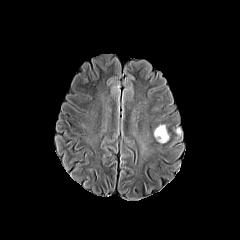
FLAIR magnetic resonance.
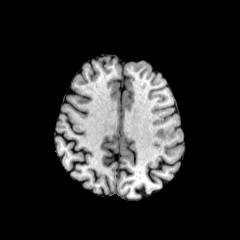
T1-weighted MR image.
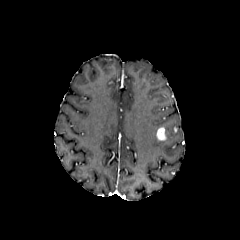
Post-contrast T1-weighted MR image of the same slice.
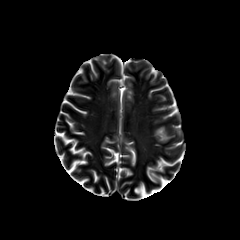
T2-weighted MR image.
Head
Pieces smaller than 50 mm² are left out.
The largest peritumoral edema region lies within (153,124,168,143). The enhancing tumor is bounded by (156,127,166,140).